FLAIR magnetic resonance.
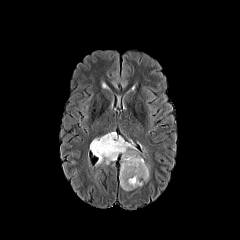
T1-weighted MR.
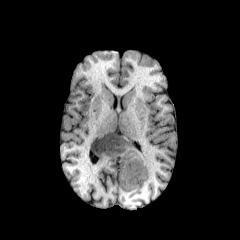
Post-contrast T1-weighted magnetic resonance.
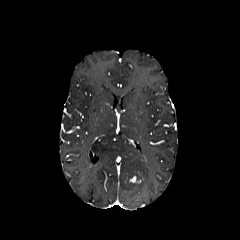
T2-weighted MR image.
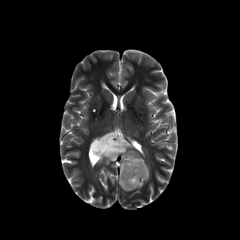
* peritumoral edema: 90:132:149:190
* enhancing tumor: 129:175:139:183